FLAIR MR image.
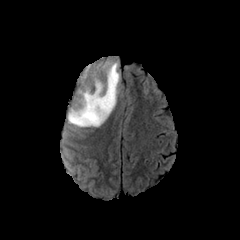
T1-weighted magnetic resonance.
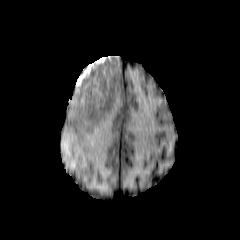
Post-contrast T1-weighted MRI.
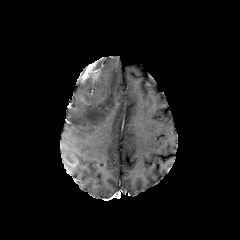
T2-weighted MR.
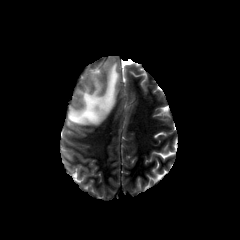
Head, Axial slice
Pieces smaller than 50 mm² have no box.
The 2 largest enhancing tumor regions are bounded by (90, 67, 99, 78), (96, 93, 106, 103). The largest peritumoral edema region lies within (68, 61, 120, 125).